FLAIR MR image.
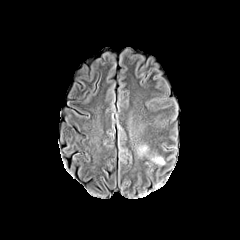
T1-weighted MR.
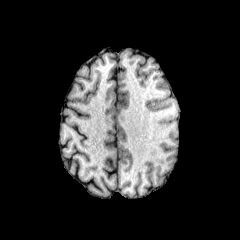
Post-contrast T1-weighted MRI.
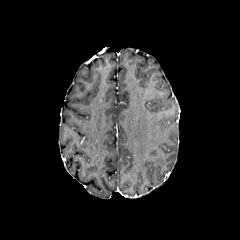
T2-weighted MR image.
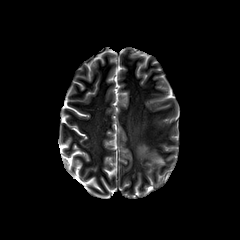
Head. Axial view. Image size 240x240.
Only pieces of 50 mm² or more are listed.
The largest peritumoral edema region lies within rect(154, 158, 164, 164).